FLAIR MR.
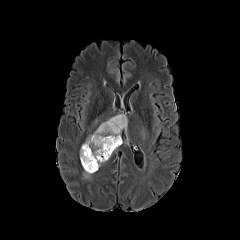
T1-weighted MR image.
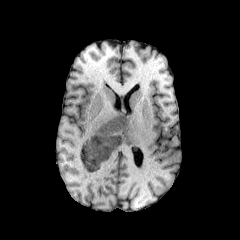
Post-contrast T1-weighted MR image.
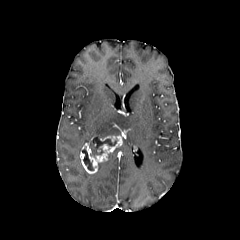
T2-weighted MR.
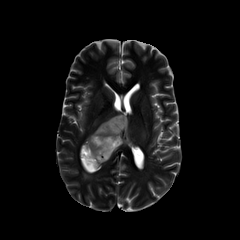
Brain
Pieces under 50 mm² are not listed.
The largest peritumoral edema region is bounded by left=85, top=114, right=127, bottom=142. 2 necrotic tumor core regions appear at left=82, top=149, right=93, bottom=170; left=89, top=136, right=116, bottom=156. The largest enhancing tumor region lies within left=80, top=135, right=122, bottom=173.